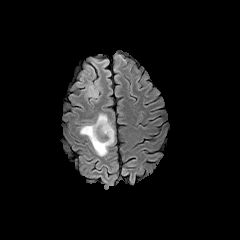
FLAIR magnetic resonance.
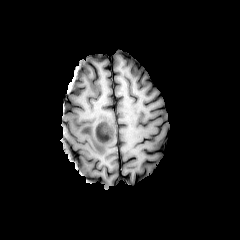
Same slice, T1-weighted magnetic resonance.
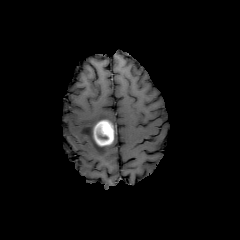
Post-contrast T1-weighted MR.
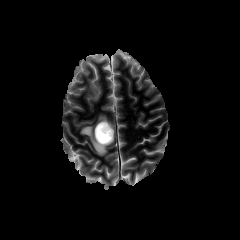
T2-weighted MRI of the same slice.
Image size 240x240, Brain
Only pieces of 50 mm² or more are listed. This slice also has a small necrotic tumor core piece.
peritumoral edema — l=80, t=113, r=115, b=156; l=72, t=64, r=100, b=97
enhancing tumor — l=93, t=120, r=114, b=146